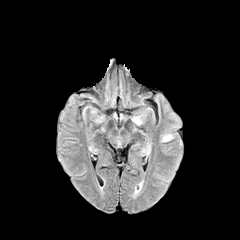
FLAIR MR image.
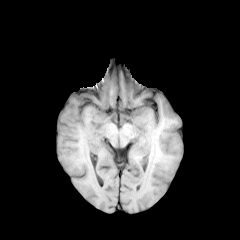
Same slice, T1-weighted MR image.
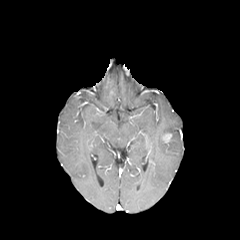
Post-contrast T1-weighted magnetic resonance.
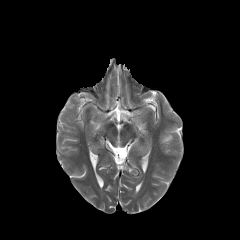
T2-weighted magnetic resonance of the same slice.
Brain.
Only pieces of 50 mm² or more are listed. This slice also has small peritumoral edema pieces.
<segmentation>
  <enhancing_tumor>[x1=163, y1=133, x2=171, y2=142]</enhancing_tumor>
</segmentation>